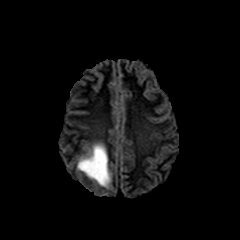
FLAIR MR.
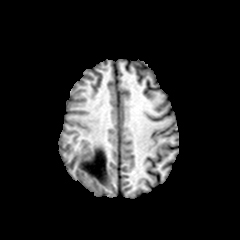
T1-weighted MR.
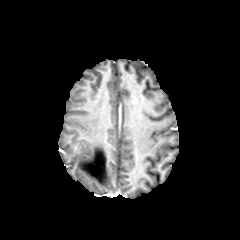
Post-contrast T1-weighted MRI.
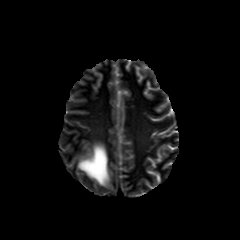
Same slice, T2-weighted MRI.
Image size 240x240.
Segmented structures:
- peritumoral edema: x1=77 y1=143 x2=111 y2=188